Head, Slice index 78, Axial plane
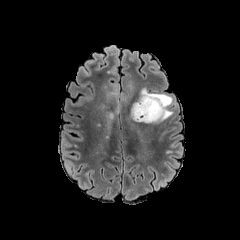
FLAIR MRI.
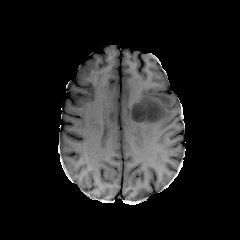
T1-weighted MR.
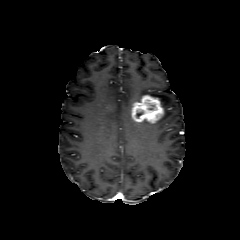
Post-contrast T1-weighted magnetic resonance.
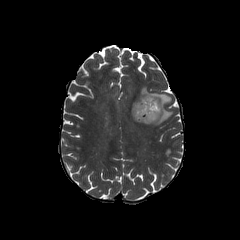
T2-weighted magnetic resonance.
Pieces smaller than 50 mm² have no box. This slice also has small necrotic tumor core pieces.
The enhancing tumor appears at region(131, 95, 164, 123). The largest peritumoral edema region appears at region(135, 87, 173, 124).